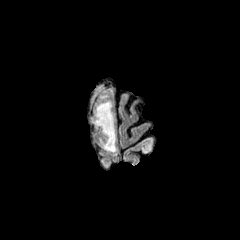
FLAIR MR.
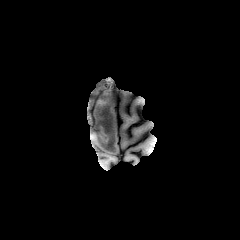
T1-weighted magnetic resonance.
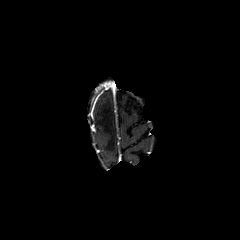
Same slice, post-contrast T1-weighted magnetic resonance.
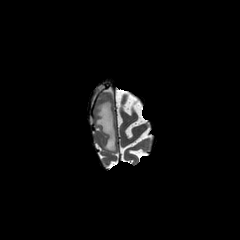
T2-weighted MR.
Axial view | Brain
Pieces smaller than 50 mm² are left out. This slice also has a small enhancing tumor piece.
Annotated regions:
- peritumoral edema: box=[95, 100, 116, 151]